FLAIR MR.
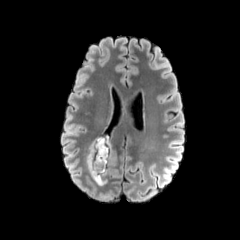
T1-weighted MRI.
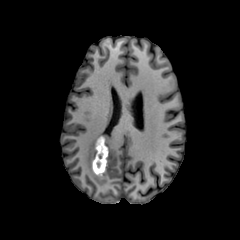
Post-contrast T1-weighted magnetic resonance.
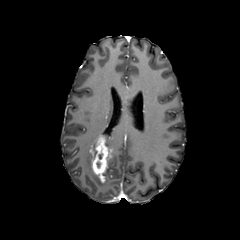
T2-weighted MRI.
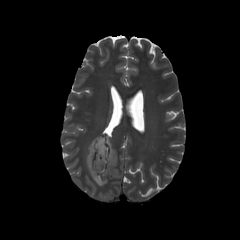
Brain; 240x240
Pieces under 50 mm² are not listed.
peritumoral_edema:
  - 93,134,112,147
  - 86,144,116,185
enhancing_tumor:
  - 89,136,113,181
necrotic_tumor_core:
  - 95,148,103,169